Axial slice | Slice 36/155 | Brain
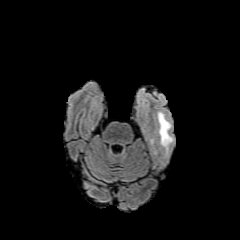
FLAIR MRI.
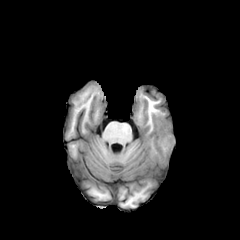
Same slice, T1-weighted MRI.
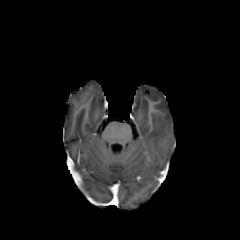
Post-contrast T1-weighted MR image of the same slice.
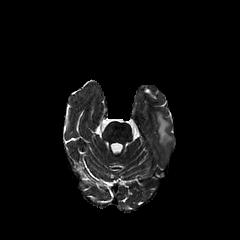
Same slice, T2-weighted MR.
Segmented structures:
• peritumoral edema: 157 112 172 146